Axial slice, 240x240 px
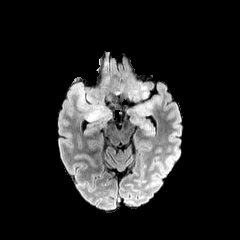
FLAIR MRI.
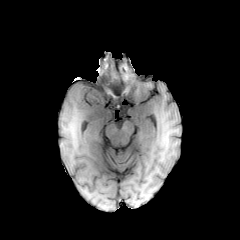
T1-weighted magnetic resonance of the same slice.
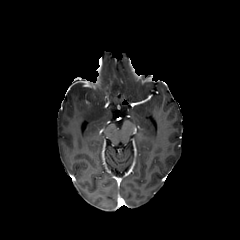
Post-contrast T1-weighted MR image.
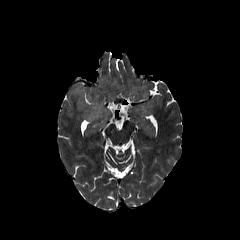
T2-weighted magnetic resonance.
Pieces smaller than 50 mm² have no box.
peritumoral edema — 127, 100, 153, 124; 71, 79, 113, 121; 122, 76, 148, 100